FLAIR magnetic resonance.
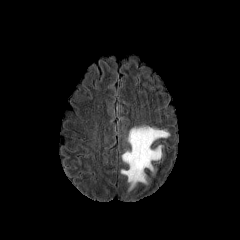
T1-weighted magnetic resonance.
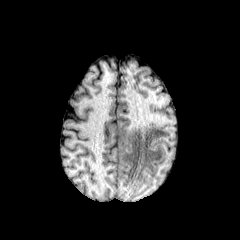
Post-contrast T1-weighted magnetic resonance.
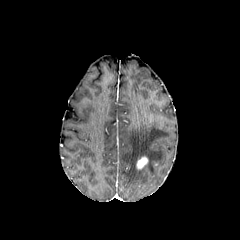
T2-weighted MR.
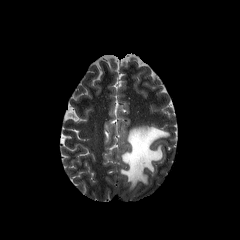
Head
<segmentation>
  <peritumoral_edema>x1=121, y1=125, x2=170, y2=192</peritumoral_edema>
  <enhancing_tumor>x1=136, y1=156, x2=148, y2=169</enhancing_tumor>
</segmentation>